FLAIR MRI.
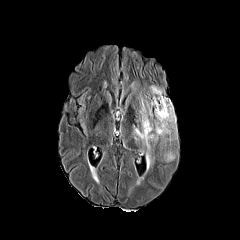
T1-weighted magnetic resonance.
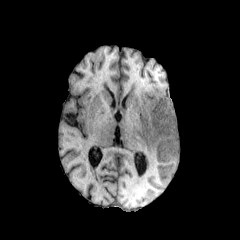
Post-contrast T1-weighted MR image.
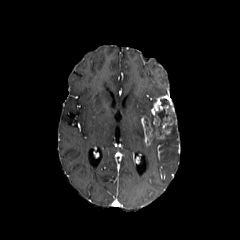
T2-weighted MRI.
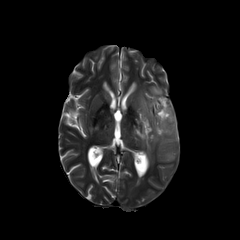
Brain; Axial view
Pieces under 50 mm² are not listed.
enhancing tumor = bbox(151, 95, 176, 139); bbox(141, 116, 153, 146)
necrotic tumor core = bbox(156, 109, 169, 134)
peritumoral edema = bbox(164, 151, 174, 161); bbox(146, 145, 152, 164); bbox(133, 125, 145, 145); bbox(139, 85, 163, 144); bbox(161, 123, 177, 141)